Image size 240x240, Brain, Axial view
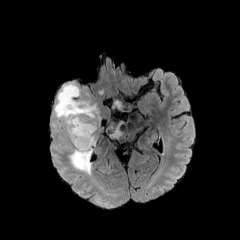
FLAIR MR image.
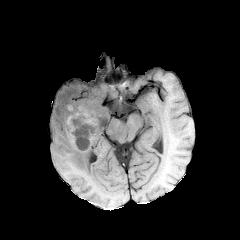
T1-weighted MR.
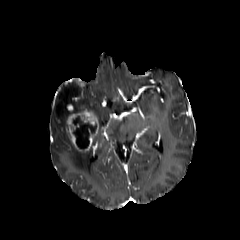
Post-contrast T1-weighted MRI.
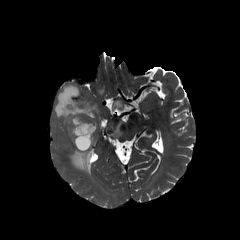
T2-weighted MR.
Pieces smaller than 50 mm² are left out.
- necrotic tumor core: l=71, t=115, r=97, b=147
- enhancing tumor: l=66, t=104, r=98, b=150
- peritumoral edema: l=54, t=84, r=97, b=125; l=111, t=98, r=123, b=109; l=69, t=147, r=92, b=174; l=108, t=120, r=124, b=138